Axial slice
FLAIR magnetic resonance.
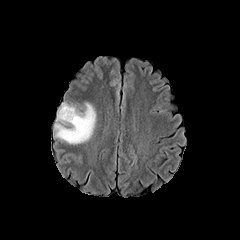
T1-weighted magnetic resonance.
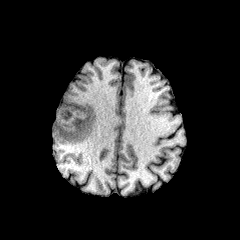
Post-contrast T1-weighted MR.
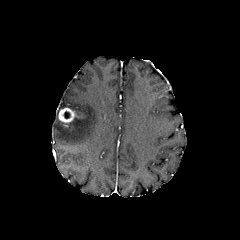
T2-weighted MR image.
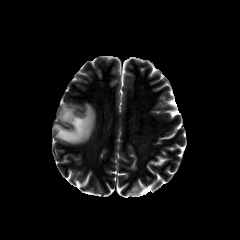
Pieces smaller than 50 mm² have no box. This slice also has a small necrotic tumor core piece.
peritumoral_edema:
  - x1=54 y1=102 x2=96 y2=144
enhancing_tumor:
  - x1=57 y1=107 x2=78 y2=124